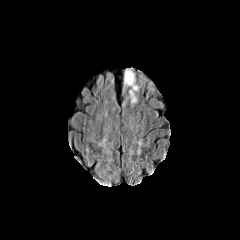
FLAIR magnetic resonance.
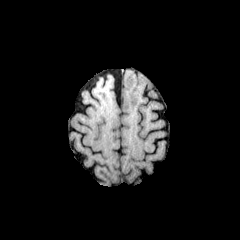
T1-weighted MR.
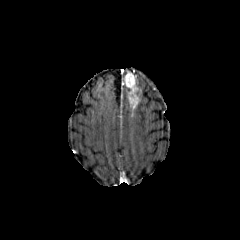
Same slice, post-contrast T1-weighted magnetic resonance.
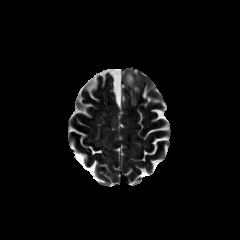
T2-weighted MR.
Head. Axial view.
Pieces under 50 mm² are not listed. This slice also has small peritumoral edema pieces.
The enhancing tumor is bounded by 124 71 137 106.